Slice 106 of 155, Axial plane, Brain
FLAIR MR image.
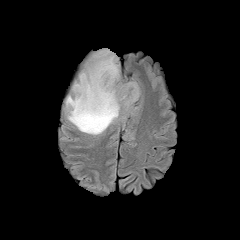
T1-weighted MR.
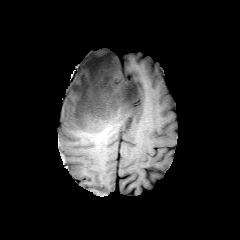
Post-contrast T1-weighted magnetic resonance.
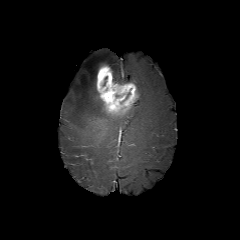
T2-weighted MR.
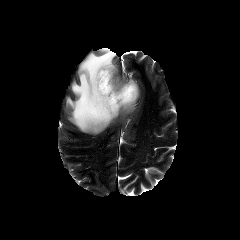
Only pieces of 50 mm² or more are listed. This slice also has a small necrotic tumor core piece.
The enhancing tumor is bounded by (left=96, top=65, right=138, bottom=115). The largest peritumoral edema region is at (left=66, top=49, right=122, bottom=134).